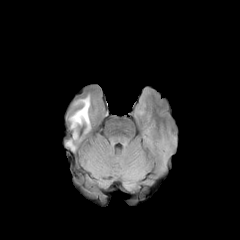
FLAIR MR.
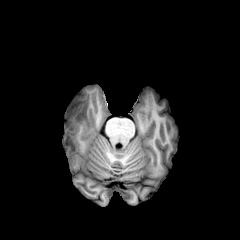
T1-weighted MRI of the same slice.
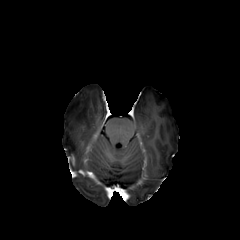
Post-contrast T1-weighted MR of the same slice.
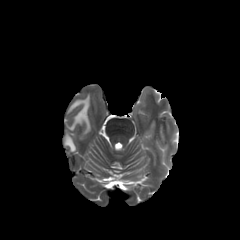
T2-weighted magnetic resonance of the same slice.
240x240
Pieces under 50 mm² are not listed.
<segmentation>
  <peritumoral_edema>(left=71, top=96, right=90, bottom=133), (left=66, top=139, right=75, bottom=150)</peritumoral_edema>
</segmentation>